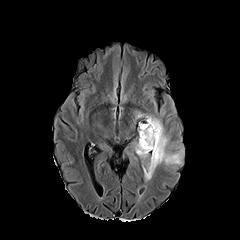
FLAIR MRI.
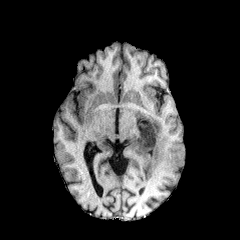
Same slice, T1-weighted MRI.
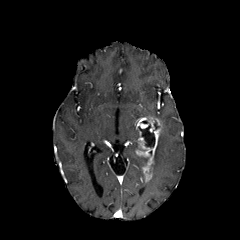
Post-contrast T1-weighted magnetic resonance of the same slice.
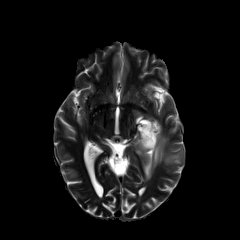
T2-weighted MR image.
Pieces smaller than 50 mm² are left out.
Segmented structures:
* peritumoral edema: 136, 112, 148, 118; 151, 128, 183, 172
* enhancing tumor: 136, 116, 162, 181
* necrotic tumor core: 139, 124, 155, 147